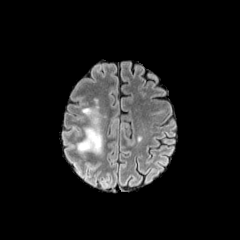
FLAIR MR.
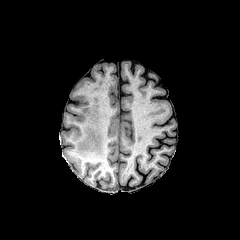
T1-weighted magnetic resonance of the same slice.
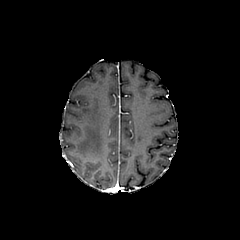
Post-contrast T1-weighted MR.
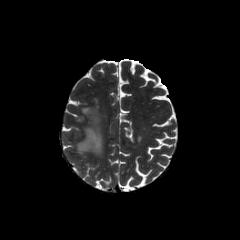
T2-weighted MR image.
Head. 240x240 px.
peritumoral_edema:
  - 77 97 104 153